Head | Slice 64 of 155 | Image covers 240 mm x 240 mm | Axial view
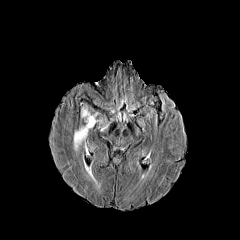
FLAIR magnetic resonance.
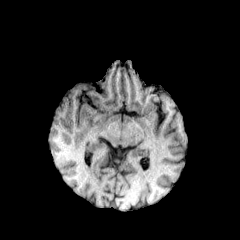
Same slice, T1-weighted MR.
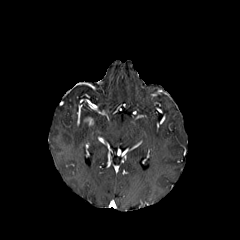
Post-contrast T1-weighted MRI.
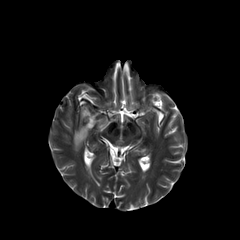
T2-weighted MR of the same slice.
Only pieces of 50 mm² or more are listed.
peritumoral edema = (74,122,92,150), (82,108,96,123)
enhancing tumor = (84,117,93,126)